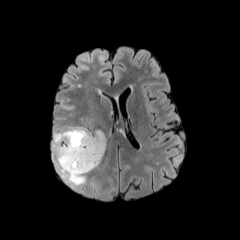
FLAIR MR image.
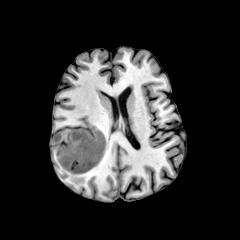
Same slice, T1-weighted MR.
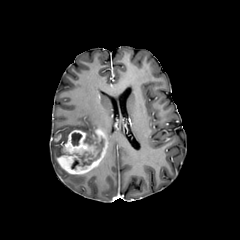
Post-contrast T1-weighted MR.
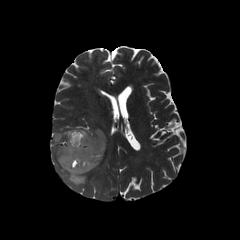
Same slice, T2-weighted MR image.
Brain
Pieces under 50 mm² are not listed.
The peritumoral edema is at x1=52 y1=127 x2=93 y2=185. The largest enhancing tumor region is located at x1=57 y1=128 x2=108 y2=174. 2 necrotic tumor core regions are located at x1=71 y1=132 x2=81 y2=145, x1=71 y1=134 x2=103 y2=168.